FLAIR magnetic resonance.
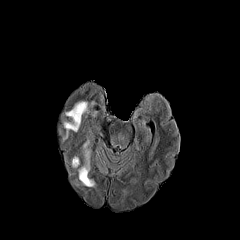
T1-weighted magnetic resonance.
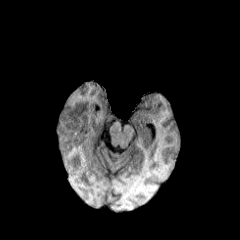
Post-contrast T1-weighted MR image.
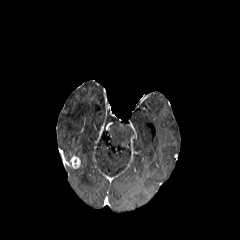
T2-weighted MR image.
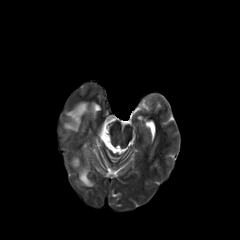
Brain.
The enhancing tumor is located at [x1=72, y1=157, x2=80, y2=168]. 2 peritumoral edema regions are bounded by [x1=78, y1=140, x2=94, y2=186], [x1=63, y1=101, x2=89, y2=140].